FLAIR MRI.
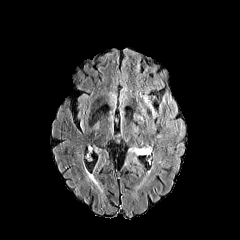
T1-weighted MR.
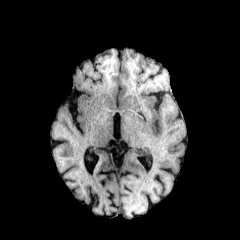
Post-contrast T1-weighted magnetic resonance.
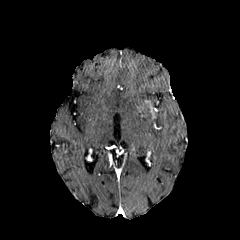
T2-weighted magnetic resonance.
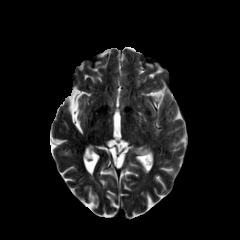
240x240 px
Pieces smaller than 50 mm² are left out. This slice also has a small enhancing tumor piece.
peritumoral edema: (left=134, top=147, right=150, bottom=154), (left=135, top=97, right=150, bottom=126)